Axial slice, Brain
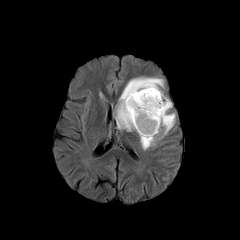
FLAIR MRI.
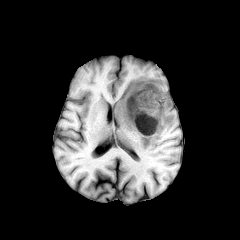
T1-weighted magnetic resonance of the same slice.
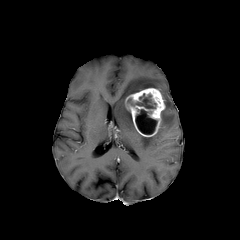
Post-contrast T1-weighted MRI of the same slice.
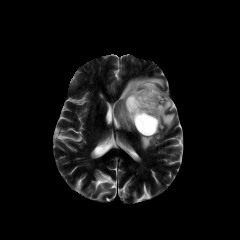
Same slice, T2-weighted MRI.
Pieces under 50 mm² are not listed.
peritumoral edema: x1=114, y1=77, x2=175, y2=149 | necrotic tumor core: x1=135, y1=109, x2=157, y2=134; x1=136, y1=94, x2=155, y2=108 | enhancing tumor: x1=125, y1=88, x2=165, y2=136